240x240
FLAIR MR.
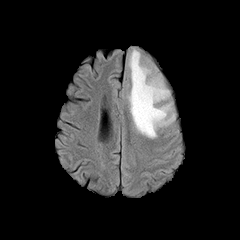
T1-weighted magnetic resonance.
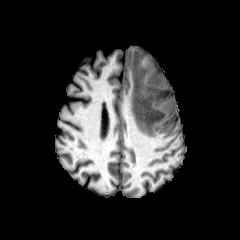
Post-contrast T1-weighted MRI.
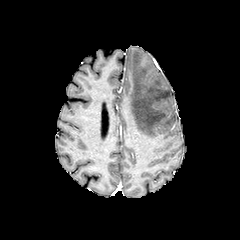
T2-weighted MR.
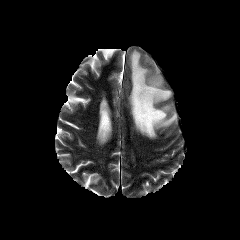
peritumoral edema: [x1=128, y1=50, x2=175, y2=138]